FLAIR MR.
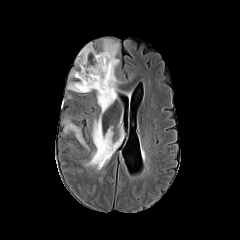
T1-weighted MRI.
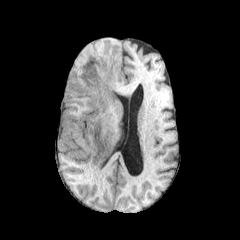
Post-contrast T1-weighted magnetic resonance.
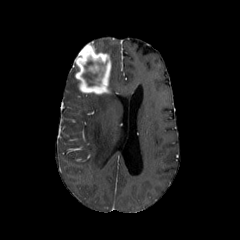
T2-weighted MRI.
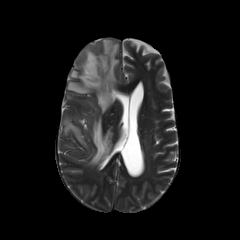
Head; 240x240
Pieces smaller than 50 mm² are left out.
peritumoral edema = [x1=64, y1=120, x2=89, y2=150], [x1=97, y1=39, x2=119, y2=113], [x1=86, y1=115, x2=120, y2=166], [x1=67, y1=82, x2=81, y2=92]
necrotic tumor core = [x1=83, y1=72, x2=97, y2=85]
enhancing tumor = [x1=75, y1=42, x2=111, y2=94]